Slice 95/155.
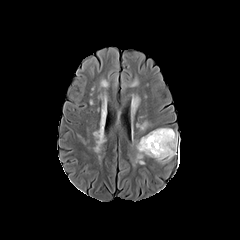
FLAIR MR image.
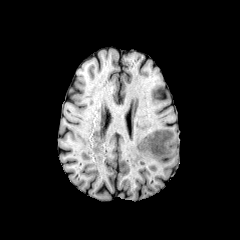
T1-weighted MR.
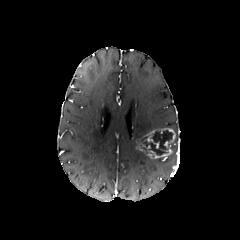
Post-contrast T1-weighted MR image.
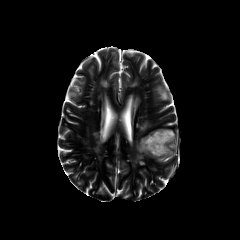
T2-weighted magnetic resonance.
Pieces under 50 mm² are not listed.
necrotic tumor core = region(141, 130, 173, 155)
peritumoral edema = region(156, 145, 177, 162); region(135, 143, 145, 164)
enhancing tumor = region(138, 128, 175, 159)